Axial slice; Image size 240x240
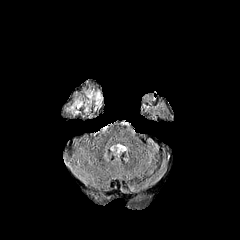
FLAIR magnetic resonance.
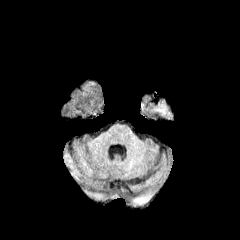
T1-weighted MRI.
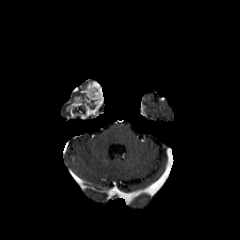
Same slice, post-contrast T1-weighted MR.
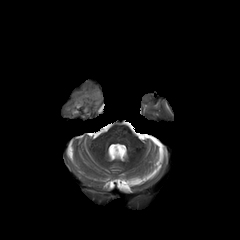
T2-weighted MRI.
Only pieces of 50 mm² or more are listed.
The largest necrotic tumor core region lies within rect(73, 106, 85, 114). The enhancing tumor is at rect(66, 82, 103, 118).